240x240; Head; Slice index 104; Image width 240 mm
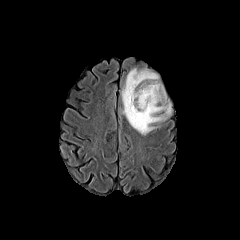
FLAIR MR image.
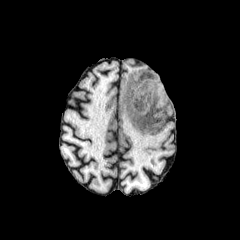
T1-weighted MR image of the same slice.
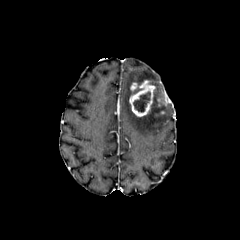
Post-contrast T1-weighted MR image.
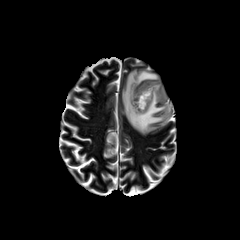
T2-weighted MR image.
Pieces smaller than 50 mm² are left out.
Annotated regions:
• peritumoral edema: {"x1": 121, "y1": 68, "x2": 173, "y2": 135}
• necrotic tumor core: {"x1": 133, "y1": 92, "x2": 150, "y2": 112}
• enhancing tumor: {"x1": 129, "y1": 80, "x2": 155, "y2": 116}